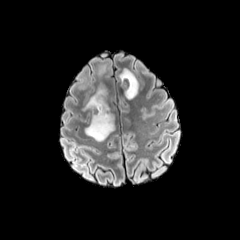
FLAIR MRI.
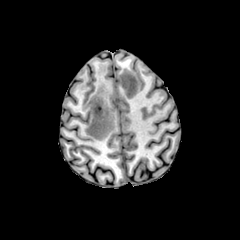
T1-weighted MRI.
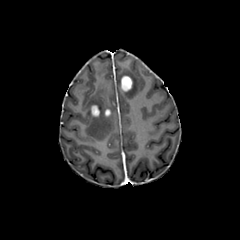
Post-contrast T1-weighted MR image.
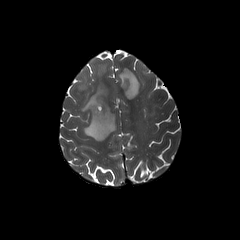
T2-weighted magnetic resonance.
Head, Axial plane, 240x240 px
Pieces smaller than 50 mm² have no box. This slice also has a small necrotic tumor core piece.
<segmentation>
  <peritumoral_edema>119:67:139:99, 79:72:88:89, 82:59:114:141</peritumoral_edema>
  <enhancing_tumor>121:75:133:91, 91:105:100:117</enhancing_tumor>
</segmentation>